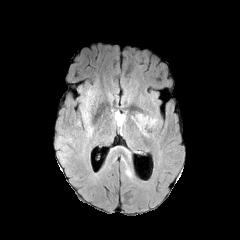
FLAIR magnetic resonance.
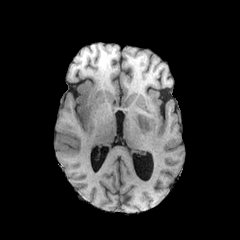
T1-weighted MR image.
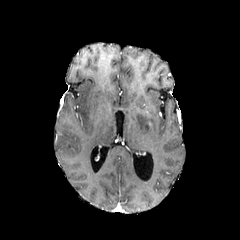
Same slice, post-contrast T1-weighted MRI.
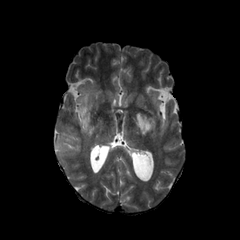
T2-weighted magnetic resonance.
Head, Image size 240x240
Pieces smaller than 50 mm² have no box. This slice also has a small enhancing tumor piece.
peritumoral edema: bounding box left=55, top=90, right=93, bottom=162; left=125, top=168, right=132, bottom=177; left=136, top=114, right=157, bottom=135